FLAIR MRI.
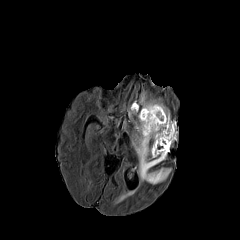
T1-weighted MR.
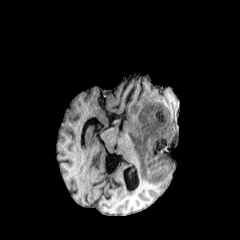
Post-contrast T1-weighted MRI.
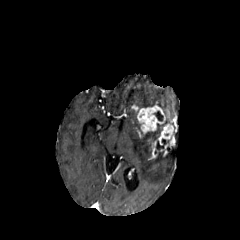
T2-weighted MRI.
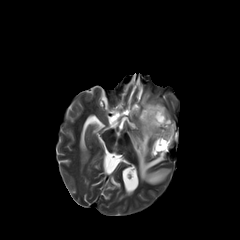
Brain | 240x240 px
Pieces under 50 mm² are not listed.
{"enhancing_tumor": ["bbox(131, 104, 176, 158)"], "peritumoral_edema": ["bbox(132, 93, 166, 109)", "bbox(132, 120, 171, 184)"], "necrotic_tumor_core": ["bbox(154, 111, 163, 121)", "bbox(156, 139, 166, 149)"]}